FLAIR MR image.
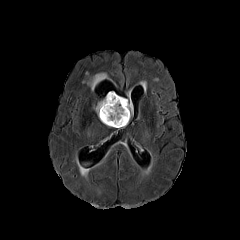
T1-weighted MR.
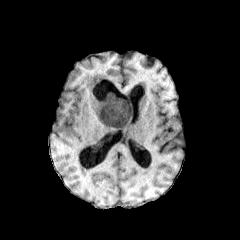
Post-contrast T1-weighted magnetic resonance.
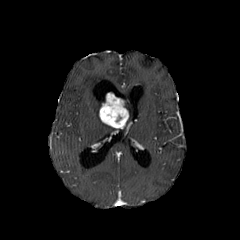
T2-weighted MR.
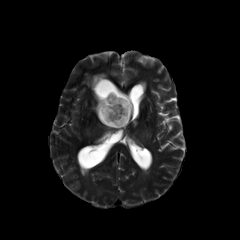
Head; Axial view
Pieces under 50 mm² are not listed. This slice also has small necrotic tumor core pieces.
enhancing tumor at x1=99 y1=92 x2=129 y2=128
peritumoral edema at x1=119 y1=97 x2=132 y2=123, x1=87 y1=73 x2=108 y2=90, x1=94 y1=99 x2=104 y2=115